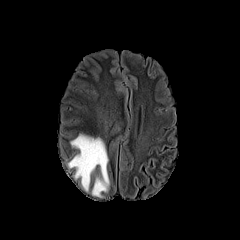
FLAIR MR image.
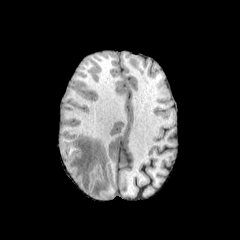
T1-weighted MR image.
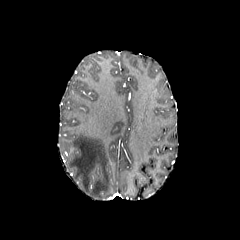
Post-contrast T1-weighted magnetic resonance of the same slice.
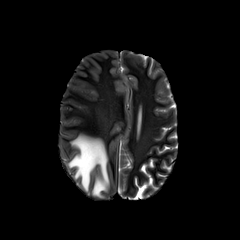
T2-weighted magnetic resonance.
Axial plane. Brain.
• peritumoral edema: <bbox>68, 134, 109, 197</bbox>